Image covers 240 mm x 240 mm. Axial plane. Brain. Slice 42/155.
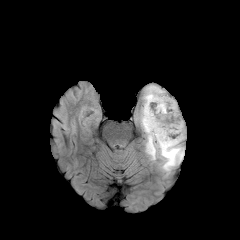
FLAIR MR.
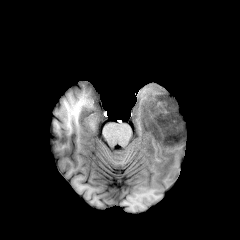
Same slice, T1-weighted MRI.
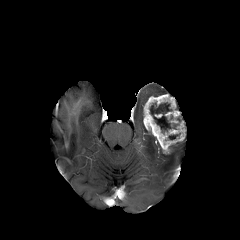
Same slice, post-contrast T1-weighted MRI.
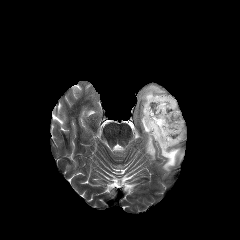
T2-weighted MRI.
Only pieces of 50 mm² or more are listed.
peritumoral edema = bbox(140, 107, 184, 173); bbox(143, 85, 165, 105)
enhancing tumor = bbox(143, 94, 186, 154)
necrotic tumor core = bbox(150, 103, 171, 129)